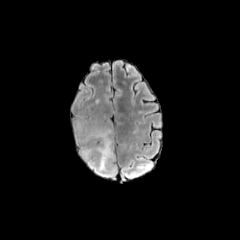
FLAIR MR.
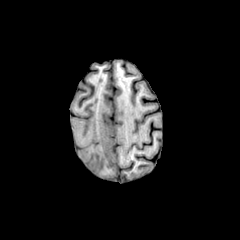
T1-weighted MR.
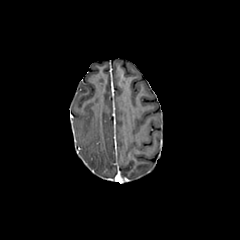
Post-contrast T1-weighted MRI.
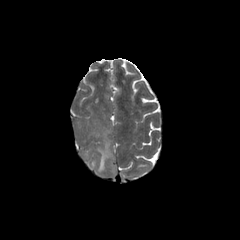
T2-weighted MR.
peritumoral edema: l=83, t=128, r=115, b=176